Image covers 240 mm x 240 mm
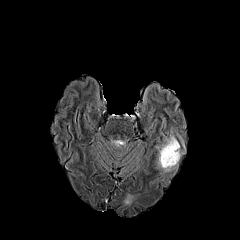
FLAIR MR.
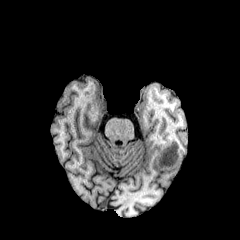
T1-weighted magnetic resonance of the same slice.
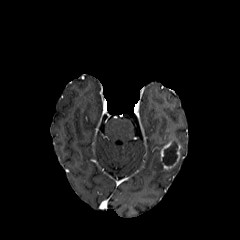
Post-contrast T1-weighted MRI.
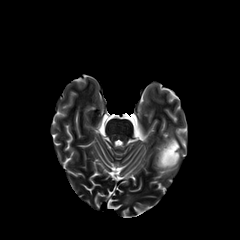
Same slice, T2-weighted MR image.
2 enhancing tumor regions appear at {"x1": 160, "y1": 140, "x2": 172, "y2": 161}, {"x1": 162, "y1": 143, "x2": 181, "y2": 170}. The necrotic tumor core appears at {"x1": 161, "y1": 141, "x2": 177, "y2": 165}. 3 peritumoral edema regions are bounded by {"x1": 122, "y1": 192, "x2": 133, "y2": 205}, {"x1": 156, "y1": 151, "x2": 177, "y2": 173}, {"x1": 161, "y1": 135, "x2": 176, "y2": 147}.